Brain.
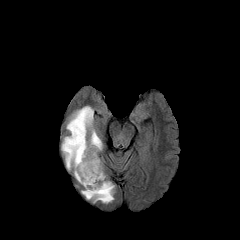
FLAIR MRI.
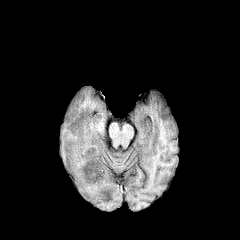
Same slice, T1-weighted MR.
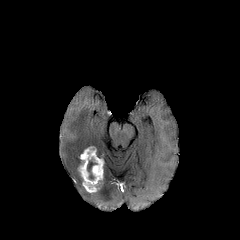
Post-contrast T1-weighted MRI of the same slice.
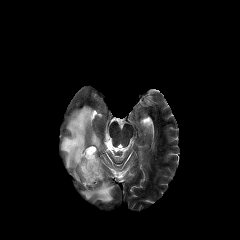
T2-weighted MRI.
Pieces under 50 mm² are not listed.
enhancing tumor — (left=78, top=146, right=103, bottom=192)
necrotic tumor core — (left=87, top=161, right=96, bottom=172)
peritumoral edema — (left=61, top=106, right=103, bottom=184), (left=81, top=173, right=114, bottom=203)